FLAIR MRI.
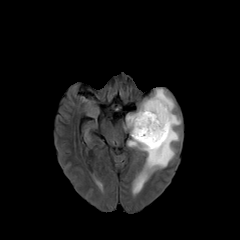
T1-weighted MR image.
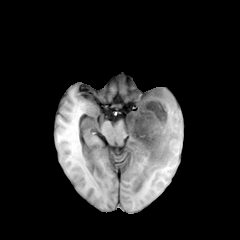
Post-contrast T1-weighted magnetic resonance.
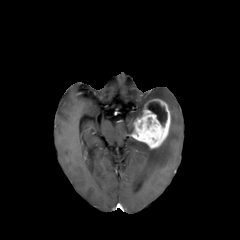
T2-weighted MR.
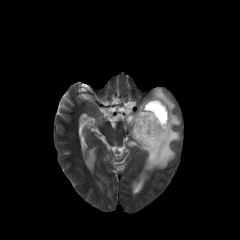
Brain
The peritumoral edema lies within {"x1": 124, "y1": 88, "x2": 181, "y2": 194}. The enhancing tumor is at {"x1": 128, "y1": 99, "x2": 170, "y2": 149}. The necrotic tumor core is at {"x1": 147, "y1": 101, "x2": 166, "y2": 125}.